FLAIR MRI.
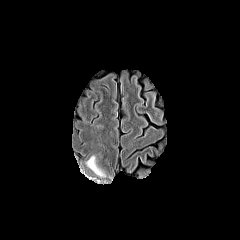
T1-weighted MR image.
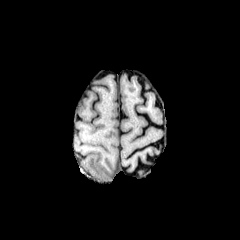
Post-contrast T1-weighted MR.
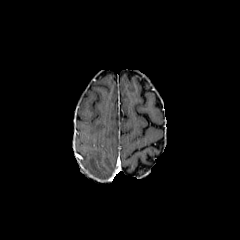
T2-weighted MRI.
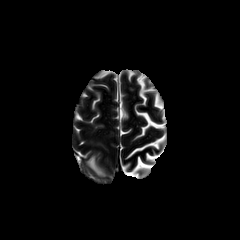
The peritumoral edema lies within (left=86, top=156, right=105, bottom=177).